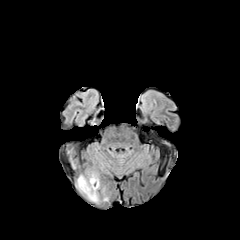
FLAIR magnetic resonance.
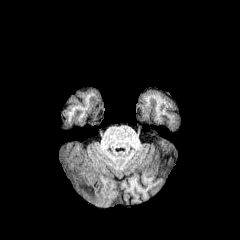
T1-weighted MR.
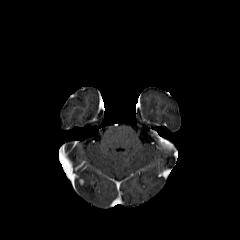
Post-contrast T1-weighted MR image of the same slice.
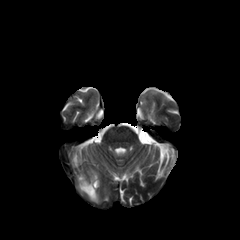
T2-weighted MR image.
Head.
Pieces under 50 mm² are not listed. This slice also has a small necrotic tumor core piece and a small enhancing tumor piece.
The largest peritumoral edema region appears at (left=77, top=173, right=101, bottom=203).